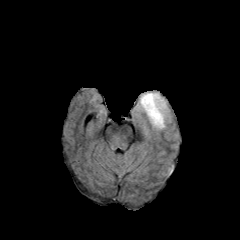
FLAIR magnetic resonance.
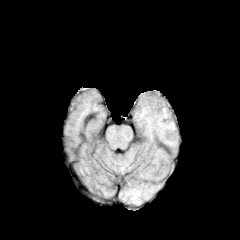
T1-weighted magnetic resonance of the same slice.
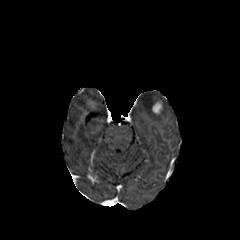
Post-contrast T1-weighted magnetic resonance.
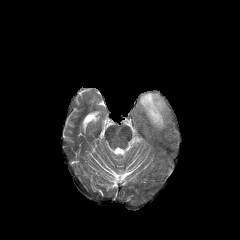
Same slice, T2-weighted MR image.
Brain, Axial slice
The peritumoral edema is bounded by bbox(140, 93, 165, 128). The enhancing tumor is located at bbox(152, 100, 162, 113).